Brain, Slice 55/155
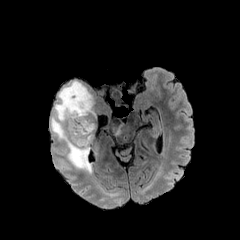
FLAIR MR.
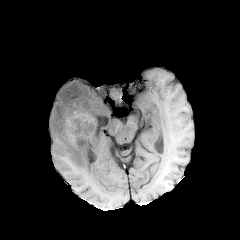
T1-weighted MR image of the same slice.
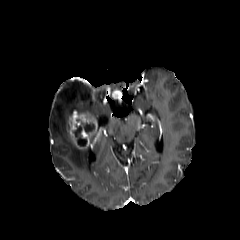
Post-contrast T1-weighted MR.
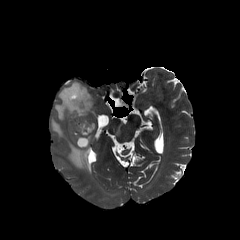
Same slice, T2-weighted MR.
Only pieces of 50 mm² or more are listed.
The enhancing tumor is at (x1=69, y1=109, x2=97, y2=148). The 2 largest peritumoral edema regions appear at (x1=51, y1=81, x2=97, y2=173), (x1=111, y1=124, x2=122, y2=136). The largest necrotic tumor core region is bounded by (x1=74, y1=121, x2=91, y2=146).